Brain, Slice 81 of 155, Image size 240x240
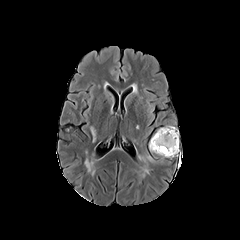
FLAIR MR.
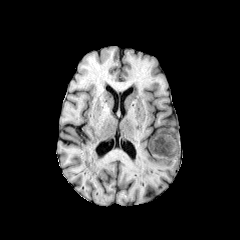
T1-weighted magnetic resonance of the same slice.
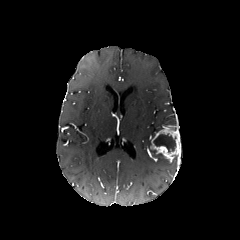
Same slice, post-contrast T1-weighted MR image.
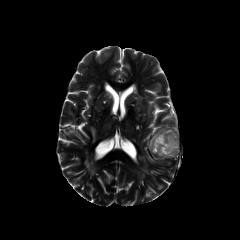
Same slice, T2-weighted MR image.
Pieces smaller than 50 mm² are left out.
<segmentation>
  <necrotic_tumor_core>box(153, 134, 175, 152)</necrotic_tumor_core>
  <peritumoral_edema>box(139, 155, 153, 162)</peritumoral_edema>
  <enhancing_tumor>box(150, 126, 180, 159)</enhancing_tumor>
</segmentation>